Slice 64 of 155 | Axial slice
FLAIR magnetic resonance.
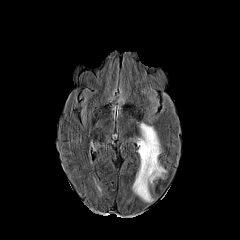
T1-weighted MR image.
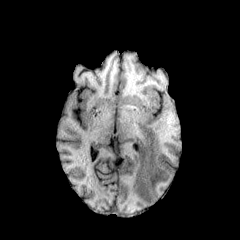
Post-contrast T1-weighted MR.
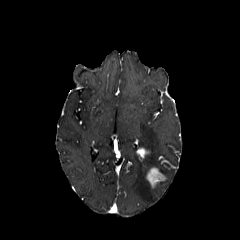
T2-weighted MR image.
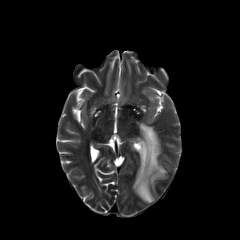
The peritumoral edema is located at [x1=132, y1=123, x2=166, y2=202]. 2 enhancing tumor regions appear at [x1=137, y1=147, x2=149, y2=159], [x1=146, y1=167, x2=165, y2=187].